FLAIR MRI.
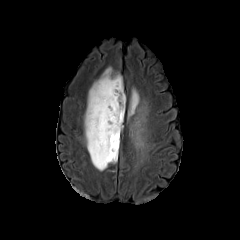
T1-weighted MR.
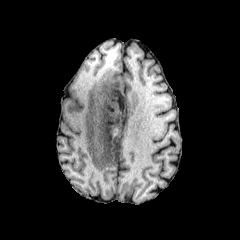
Post-contrast T1-weighted MRI.
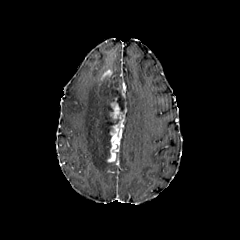
T2-weighted MR.
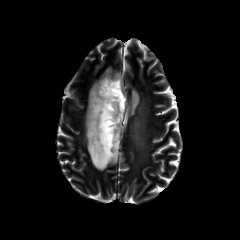
Head | Axial plane
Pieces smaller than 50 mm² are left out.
The necrotic tumor core lies within 112:81:124:111. The 2 largest peritumoral edema regions are bounded by 84:73:122:170, 128:89:139:116. The 2 largest enhancing tumor regions appear at 101:69:112:81, 107:97:126:164.